Axial view | Image width 240 mm | 240x240 px | Slice 110/155
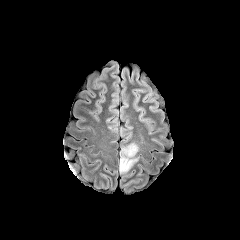
FLAIR MR.
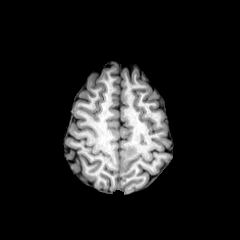
T1-weighted MRI.
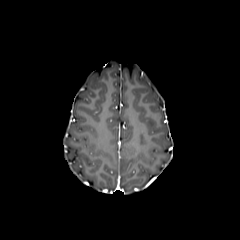
Post-contrast T1-weighted MR.
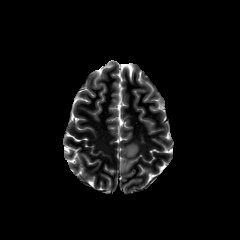
T2-weighted MR.
peritumoral edema — x1=119 y1=142 x2=139 y2=173